Brain
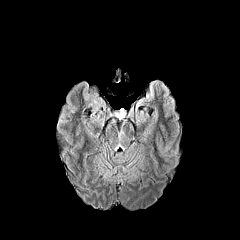
FLAIR MR.
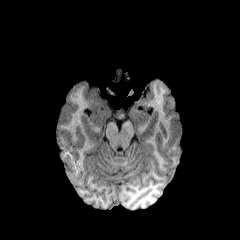
Same slice, T1-weighted MR image.
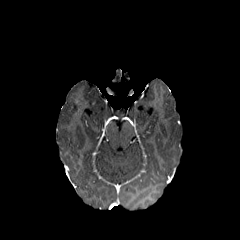
Post-contrast T1-weighted magnetic resonance.
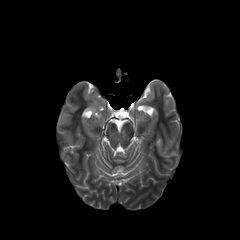
T2-weighted MRI.
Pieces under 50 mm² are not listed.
<segmentation>
  <peritumoral_edema>[116,109,125,118]</peritumoral_edema>
</segmentation>